FLAIR MRI.
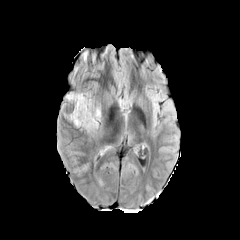
T1-weighted MRI.
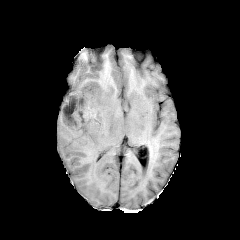
Post-contrast T1-weighted magnetic resonance.
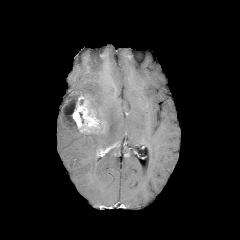
T2-weighted MR image.
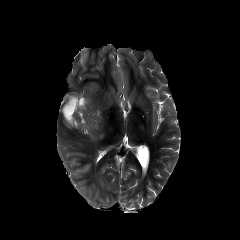
240x240
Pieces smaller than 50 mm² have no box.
Segmented structures:
• necrotic tumor core: [61,95,77,127]
• peritumoral edema: [89,99,100,121]
• enhancing tumor: [59,92,100,133]